FLAIR MRI.
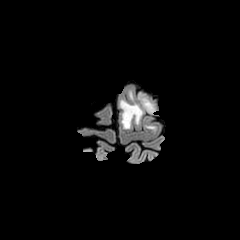
T1-weighted MR image.
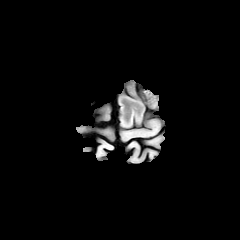
Post-contrast T1-weighted MR.
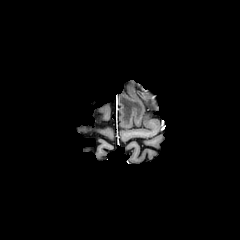
T2-weighted MR image.
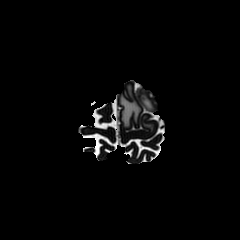
Head
peritumoral edema — region(119, 88, 155, 128); region(144, 124, 155, 130)